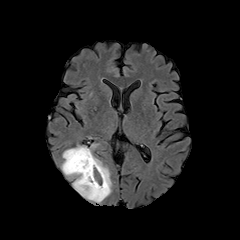
FLAIR MR.
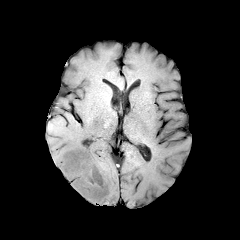
Same slice, T1-weighted MRI.
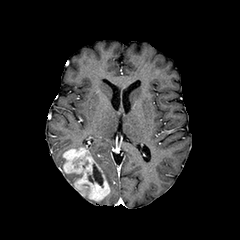
Post-contrast T1-weighted MR image.
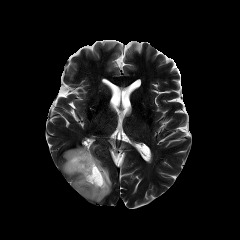
T2-weighted MRI.
Axial view
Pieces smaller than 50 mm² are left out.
The largest necrotic tumor core region is at box(88, 164, 103, 187). The enhancing tumor is at box(63, 147, 110, 201). The 2 largest peritumoral edema regions are located at box(61, 159, 82, 185); box(88, 143, 112, 191).